Axial view | Image size 240x240 | Slice 74/155 | Image width 240 mm, 1.00 mm slice spacing
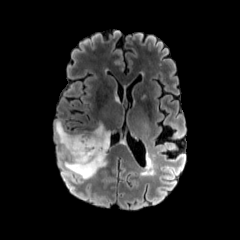
FLAIR MR image.
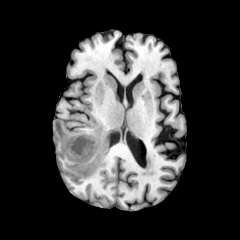
Same slice, T1-weighted MRI.
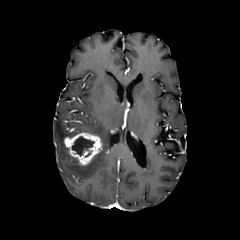
Post-contrast T1-weighted MR.
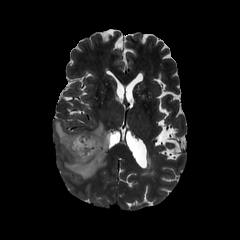
T2-weighted MR.
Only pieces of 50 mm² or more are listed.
{"enhancing_tumor": ["box(64, 132, 102, 165)"], "necrotic_tumor_core": ["box(72, 136, 94, 155)"], "peritumoral_edema": ["box(55, 121, 109, 179)"]}